FLAIR MR image.
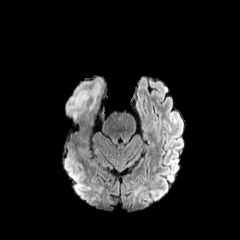
T1-weighted MR image.
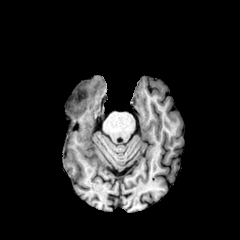
Post-contrast T1-weighted magnetic resonance.
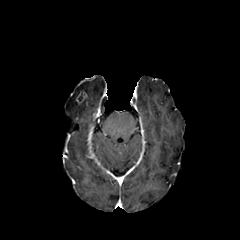
T2-weighted MRI.
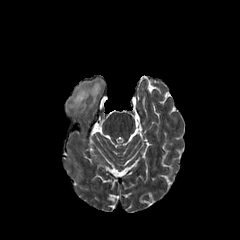
Head.
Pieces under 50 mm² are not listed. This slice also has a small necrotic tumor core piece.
The enhancing tumor is at bbox(75, 91, 87, 104). The peritumoral edema appears at bbox(66, 78, 103, 116).